FLAIR magnetic resonance.
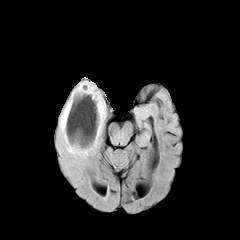
T1-weighted MRI.
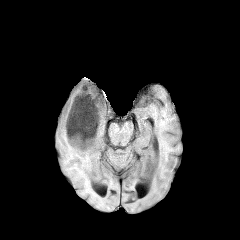
Post-contrast T1-weighted MR image.
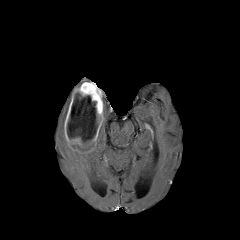
T2-weighted MR image.
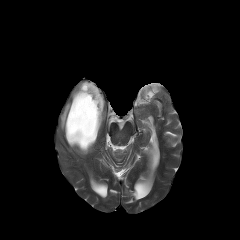
Brain. Axial plane.
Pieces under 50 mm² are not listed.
peritumoral edema at <bbox>59, 97, 104, 157</bbox>
enhancing tumor at <bbox>64, 81, 104, 152</bbox>
necrotic tumor core at <bbox>67, 93, 97, 143</bbox>